FLAIR MR image.
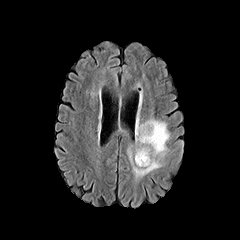
T1-weighted MR image.
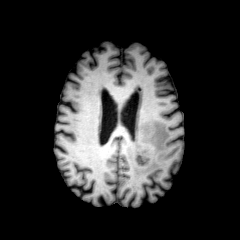
Post-contrast T1-weighted MRI.
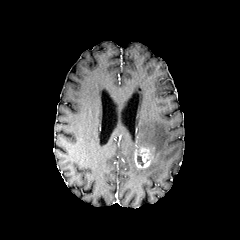
T2-weighted MRI.
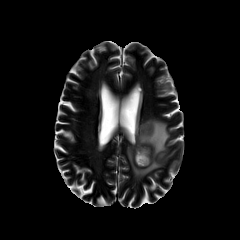
Axial plane, 240x240
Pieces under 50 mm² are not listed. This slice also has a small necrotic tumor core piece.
The peritumoral edema appears at <bbox>126, 118, 170, 180</bbox>. The enhancing tumor lies within <bbox>134, 147, 152, 168</bbox>.